FLAIR MR.
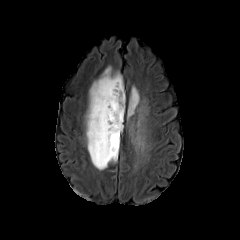
T1-weighted MRI.
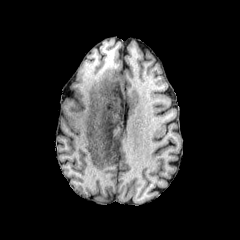
Post-contrast T1-weighted MR image.
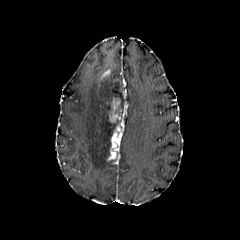
T2-weighted MRI.
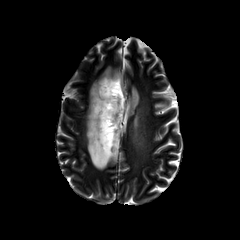
240x240 px
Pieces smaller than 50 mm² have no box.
The necrotic tumor core is at <box>112,79,125,109</box>. 2 peritumoral edema regions are located at <box>128,86,139,118</box>, <box>85,66,124,170</box>. The 2 largest enhancing tumor regions are bounded by <box>101,69,110,79</box>, <box>107,98,126,160</box>.